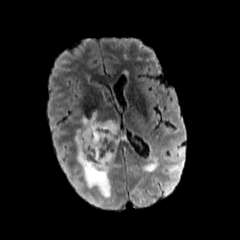
FLAIR MRI.
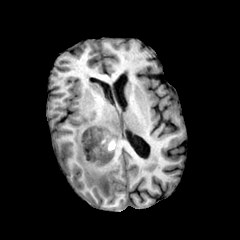
T1-weighted MR image.
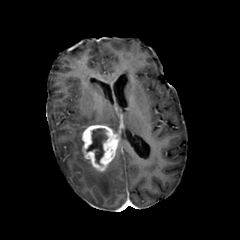
Same slice, post-contrast T1-weighted MR.
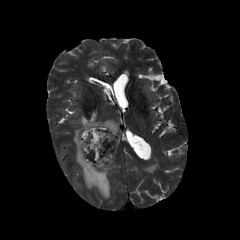
T2-weighted MR.
240x240 px; Axial slice; Brain
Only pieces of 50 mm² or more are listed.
{"necrotic_tumor_core": ["bbox(86, 128, 107, 163)"], "peritumoral_edema": ["bbox(74, 129, 117, 198)", "bbox(81, 112, 118, 132)"], "enhancing_tumor": ["bbox(82, 125, 119, 171)"]}